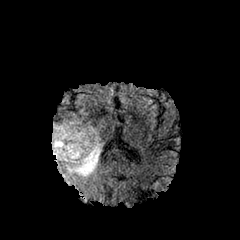
FLAIR MR.
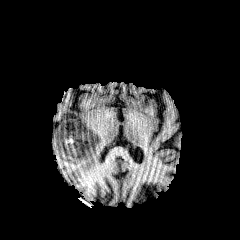
T1-weighted MR.
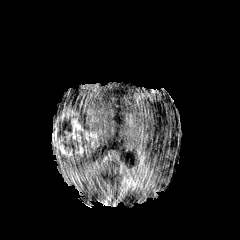
Same slice, post-contrast T1-weighted MRI.
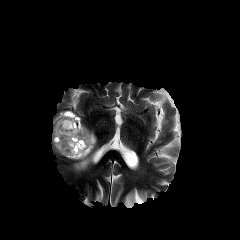
T2-weighted MR image.
Image size 240x240; Brain
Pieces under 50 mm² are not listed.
<segmentation>
  <enhancing_tumor>[52,111,98,158]</enhancing_tumor>
  <peritumoral_edema>[52,136,102,176]</peritumoral_edema>
  <necrotic_tumor_core>[57,119,78,151]</necrotic_tumor_core>
</segmentation>